FLAIR magnetic resonance.
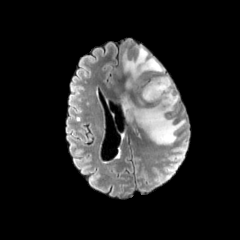
T1-weighted MRI.
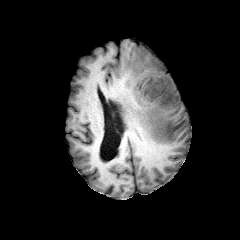
Post-contrast T1-weighted MRI.
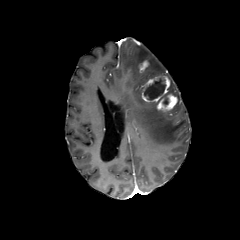
T2-weighted magnetic resonance.
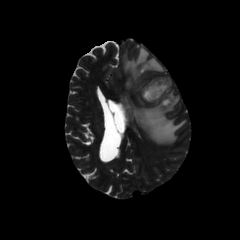
Image size 240x240. Head.
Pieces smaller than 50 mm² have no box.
The largest necrotic tumor core region lies within bbox(144, 78, 165, 100). 2 enhancing tumor regions are bounded by bbox(141, 75, 177, 111); bbox(138, 60, 149, 72). The 2 largest peritumoral edema regions are bounded by bbox(120, 75, 185, 144); bbox(123, 46, 164, 89).